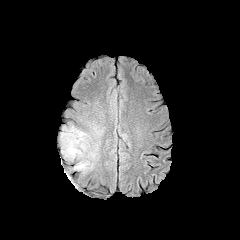
FLAIR magnetic resonance.
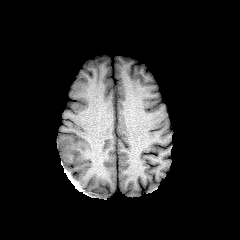
Same slice, T1-weighted magnetic resonance.
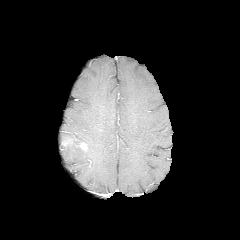
Post-contrast T1-weighted magnetic resonance of the same slice.
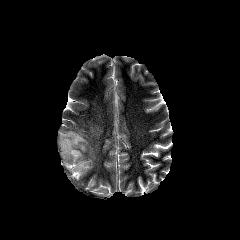
T2-weighted magnetic resonance.
* peritumoral edema: [59,125,100,174]
* enhancing tumor: [77,142,87,150], [62,137,73,146]